FLAIR MR.
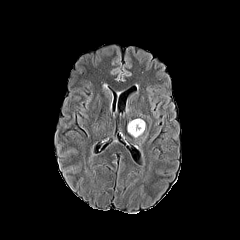
T1-weighted MR image.
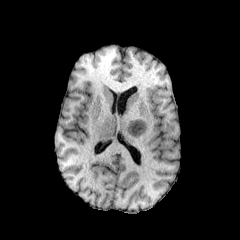
Post-contrast T1-weighted MRI.
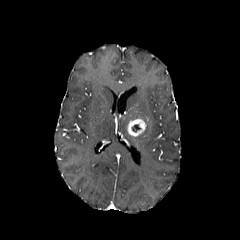
T2-weighted magnetic resonance.
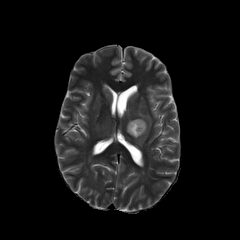
Brain.
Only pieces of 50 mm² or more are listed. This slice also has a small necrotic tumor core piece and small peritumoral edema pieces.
enhancing tumor — box(127, 118, 146, 136)